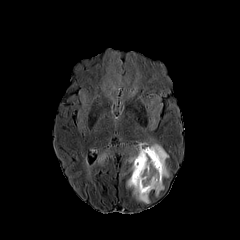
FLAIR magnetic resonance.
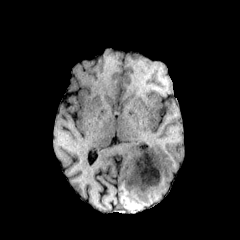
T1-weighted MR image.
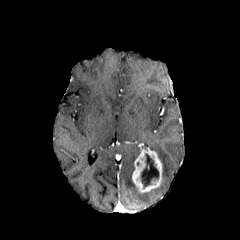
Post-contrast T1-weighted MR image.
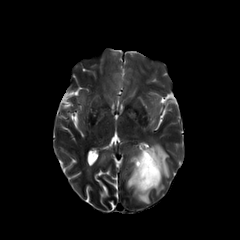
T2-weighted MR.
Brain | Axial slice
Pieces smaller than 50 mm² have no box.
peritumoral_edema:
  - <box>126,175,149,203</box>
  - <box>153,180,164,195</box>
  - <box>102,77,137,104</box>
  - <box>143,96,162,128</box>
  - <box>93,146,140,172</box>
  - <box>169,100,176,110</box>
  - <box>149,137,169,177</box>
enhancing_tumor:
  - <box>132,144,162,193</box>
necrotic_tumor_core:
  - <box>141,154,158,187</box>